FLAIR MR image.
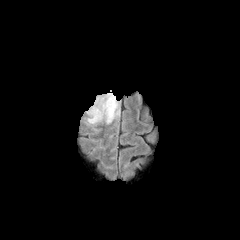
T1-weighted MR image.
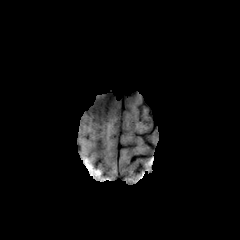
Post-contrast T1-weighted MR image.
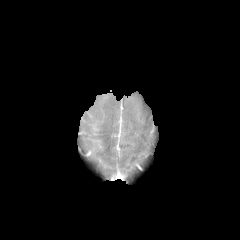
T2-weighted magnetic resonance.
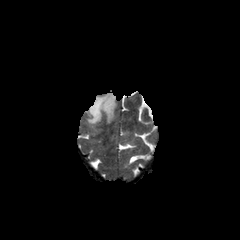
The peritumoral edema is bounded by l=87, t=93, r=118, b=124.